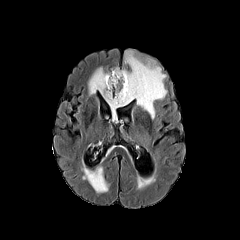
FLAIR MR image.
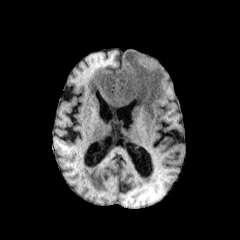
T1-weighted magnetic resonance.
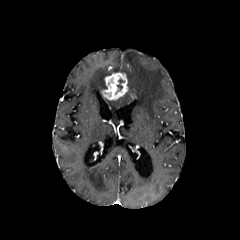
Post-contrast T1-weighted MR.
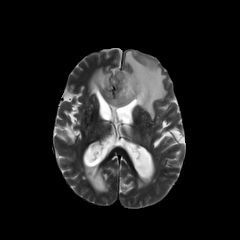
T2-weighted magnetic resonance.
Axial plane; Brain; 240x240
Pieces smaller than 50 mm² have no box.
The enhancing tumor appears at <bbox>101, 72, 128, 100</bbox>. The largest necrotic tumor core region is located at <bbox>117, 79, 124, 91</bbox>. 3 peritumoral edema regions are bounded by <bbox>84, 166, 109, 192</bbox>, <bbox>106, 51, 167, 118</bbox>, <bbox>88, 67, 110, 95</bbox>.